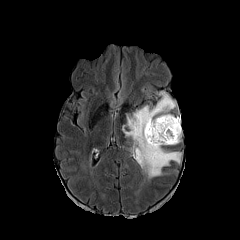
FLAIR MR.
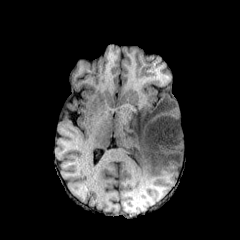
T1-weighted magnetic resonance.
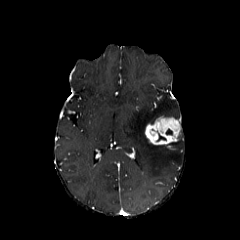
Post-contrast T1-weighted magnetic resonance.
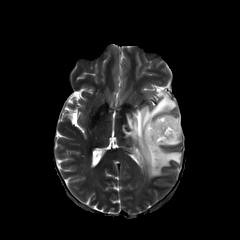
Same slice, T2-weighted MR.
Image size 240x240 | Head
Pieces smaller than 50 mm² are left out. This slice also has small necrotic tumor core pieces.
The enhancing tumor is bounded by bbox=[145, 116, 181, 145]. The largest peritumoral edema region is located at bbox=[122, 92, 181, 178].